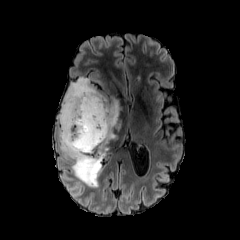
FLAIR magnetic resonance.
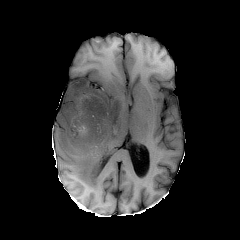
Same slice, T1-weighted magnetic resonance.
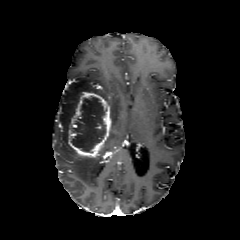
Post-contrast T1-weighted magnetic resonance of the same slice.
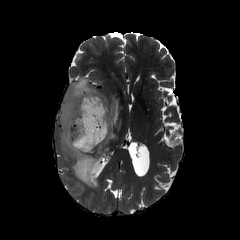
T2-weighted MRI of the same slice.
240x240.
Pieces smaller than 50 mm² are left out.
enhancing tumor = (68,92,112,159)
peritumoral edema = (102,99,122,152), (58,78,108,187)
necrotic tumor core = (71,97,105,151)